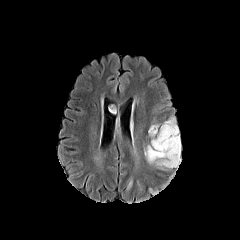
FLAIR MR image.
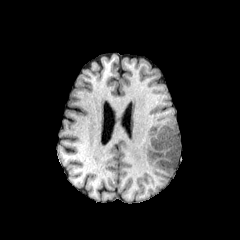
T1-weighted MRI.
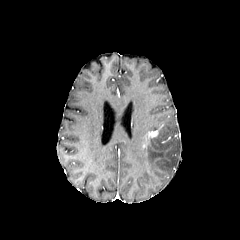
Post-contrast T1-weighted MRI.
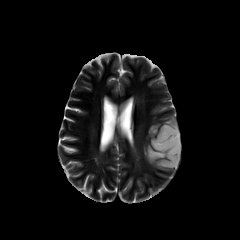
Same slice, T2-weighted MRI.
Head
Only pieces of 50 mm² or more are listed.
The largest peritumoral edema region lies within [x1=144, y1=116, x2=181, y2=170]. The largest enhancing tumor region is bounded by [x1=148, y1=130, x2=158, y2=137].